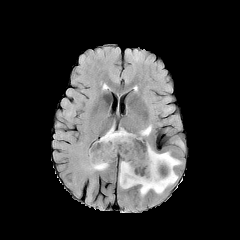
FLAIR magnetic resonance.
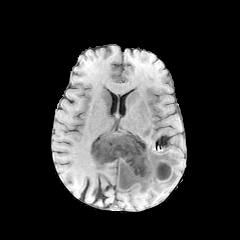
T1-weighted MRI of the same slice.
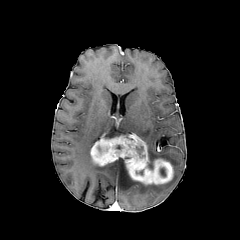
Post-contrast T1-weighted magnetic resonance of the same slice.
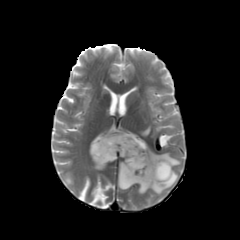
T2-weighted magnetic resonance of the same slice.
Brain; Axial view; Image size 240x240
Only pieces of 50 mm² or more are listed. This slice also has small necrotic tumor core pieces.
Findings:
- peritumoral edema: box=[102, 127, 131, 138]; box=[146, 144, 181, 169]; box=[90, 155, 108, 170]; box=[118, 160, 178, 195]; box=[140, 125, 151, 136]
- enhancing tumor: box=[90, 134, 173, 184]